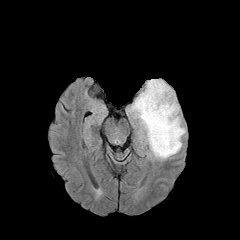
FLAIR MR image.
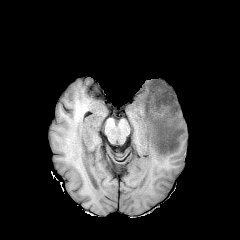
T1-weighted MR.
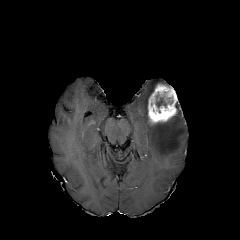
Same slice, post-contrast T1-weighted magnetic resonance.
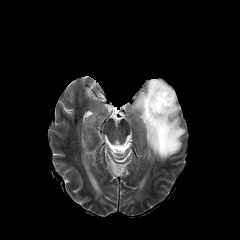
Same slice, T2-weighted MRI.
Head
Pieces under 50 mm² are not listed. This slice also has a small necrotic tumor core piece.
{
  "enhancing_tumor": [
    "x1=147 y1=82 x2=179 y2=125"
  ],
  "peritumoral_edema": [
    "x1=129 y1=79 x2=185 y2=160"
  ]
}